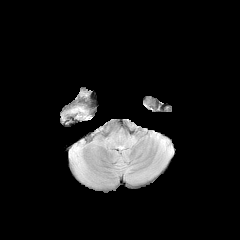
FLAIR MR image.
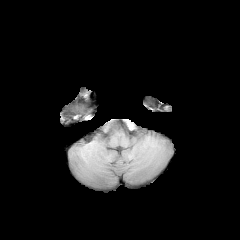
T1-weighted MRI of the same slice.
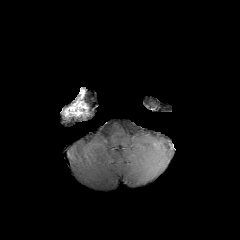
Same slice, post-contrast T1-weighted magnetic resonance.
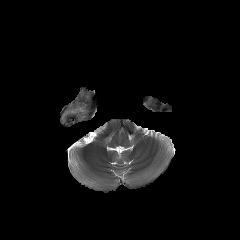
T2-weighted MRI of the same slice.
Brain. Image size 240x240.
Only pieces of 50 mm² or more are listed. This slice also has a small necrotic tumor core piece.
The enhancing tumor is at l=63, t=89, r=87, b=116.